Brain | 240x240 | Slice index 46
FLAIR MRI.
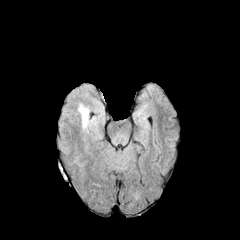
T1-weighted MR.
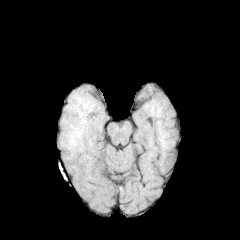
Post-contrast T1-weighted MR.
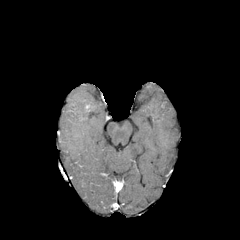
T2-weighted MR.
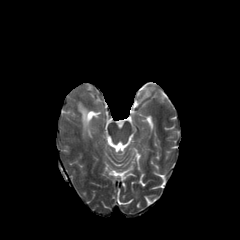
The peritumoral edema lies within (78, 103, 90, 133).